FLAIR MR image.
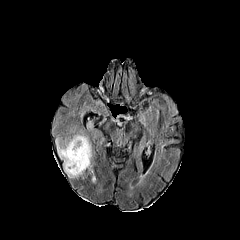
T1-weighted MR image.
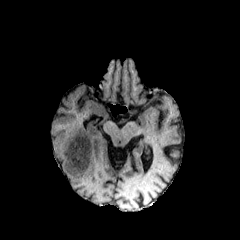
Post-contrast T1-weighted MR.
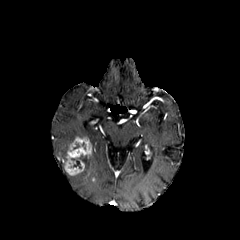
T2-weighted magnetic resonance.
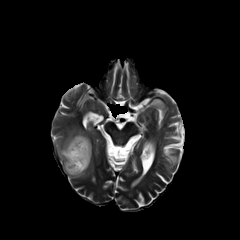
Brain
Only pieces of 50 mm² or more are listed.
{
  "peritumoral_edema": [
    "[85,152,92,169]",
    "[66,172,84,178]",
    "[56,130,87,169]"
  ],
  "enhancing_tumor": [
    "[65,136,92,175]"
  ],
  "necrotic_tumor_core": [
    "[73,160,83,169]",
    "[70,152,86,164]",
    "[70,141,87,152]"
  ]
}